FLAIR MR.
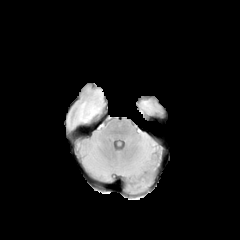
T1-weighted MRI.
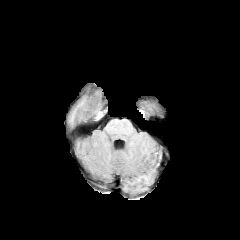
Post-contrast T1-weighted MRI.
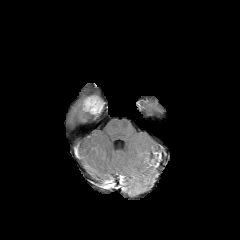
T2-weighted MR image.
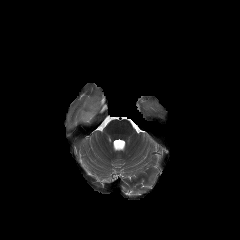
Head
The necrotic tumor core is at 84,112,93,120. The peritumoral edema lies within 67,88,102,127. The enhancing tumor lies within 79,96,104,123.